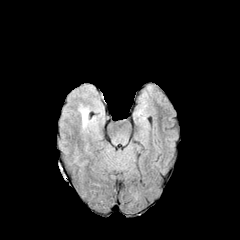
FLAIR MR image.
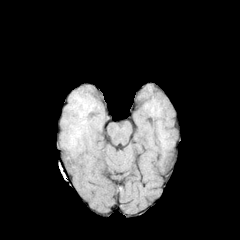
T1-weighted MR image.
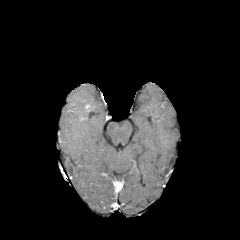
Post-contrast T1-weighted MRI.
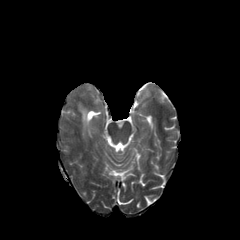
Same slice, T2-weighted magnetic resonance.
Axial plane. Brain.
peritumoral edema: bounding box (79, 105, 89, 128)